FLAIR magnetic resonance.
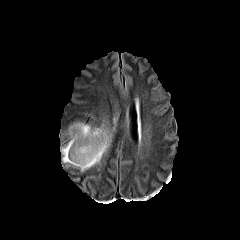
T1-weighted MR.
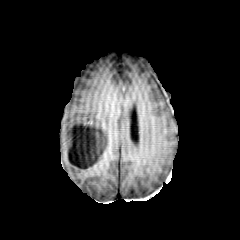
Post-contrast T1-weighted MRI.
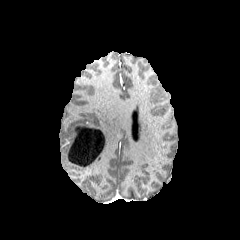
T2-weighted MR.
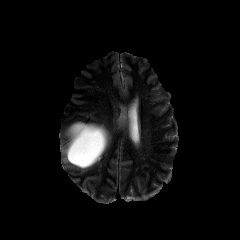
<segmentation>
  <peritumoral_edema>l=60, t=121, r=112, b=172</peritumoral_edema>
  <necrotic_tumor_core>l=67, t=125, r=105, b=167</necrotic_tumor_core>
</segmentation>